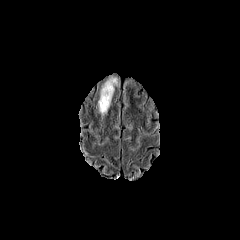
FLAIR magnetic resonance.
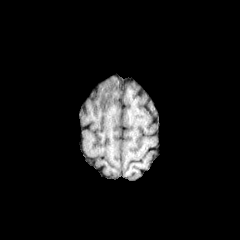
T1-weighted MR.
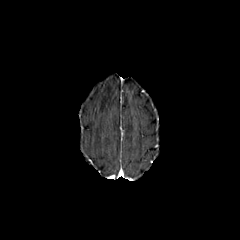
Post-contrast T1-weighted MR image.
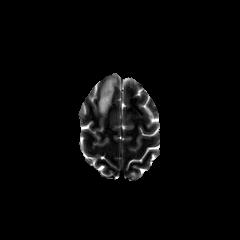
T2-weighted magnetic resonance.
Axial slice; 240x240 px; Brain
peritumoral edema: bounding box 98 78 116 114